Head | Slice 102 of 155
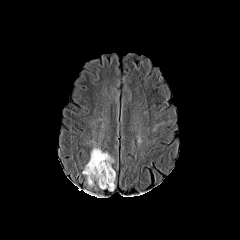
FLAIR magnetic resonance.
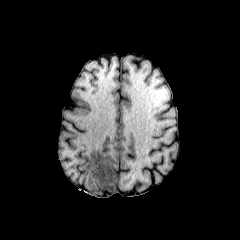
T1-weighted MRI.
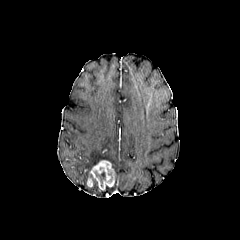
Post-contrast T1-weighted MRI.
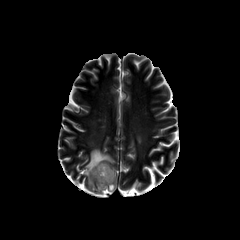
Same slice, T2-weighted MR.
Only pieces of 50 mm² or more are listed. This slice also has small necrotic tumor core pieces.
Annotated regions:
• peritumoral edema: {"x1": 83, "y1": 147, "x2": 113, "y2": 180}
• enhancing tumor: {"x1": 87, "y1": 160, "x2": 115, "y2": 189}